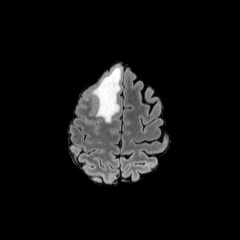
FLAIR MR image.
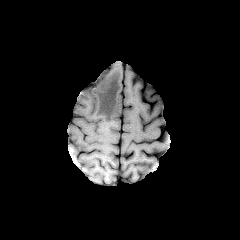
T1-weighted MR of the same slice.
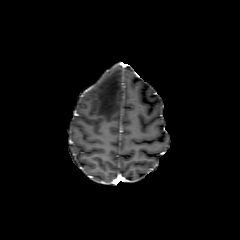
Same slice, post-contrast T1-weighted MR image.
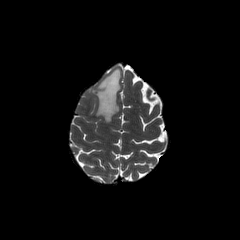
T2-weighted MR image.
Axial view, 240x240, Head
The peritumoral edema lies within [92, 66, 121, 122].